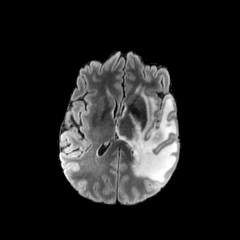
FLAIR MR image.
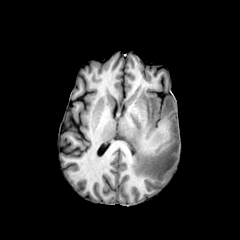
T1-weighted MR of the same slice.
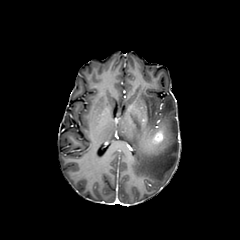
Same slice, post-contrast T1-weighted MR.
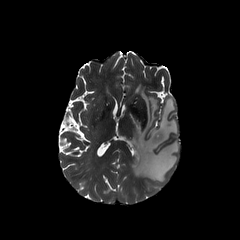
Same slice, T2-weighted MR.
Axial slice, Brain, Image size 240x240
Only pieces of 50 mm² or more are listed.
enhancing tumor = (147, 127, 165, 148)
peritumoral edema = (119, 93, 178, 184)